FLAIR MR.
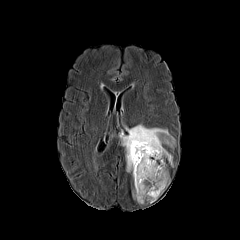
T1-weighted magnetic resonance.
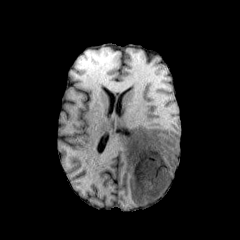
Post-contrast T1-weighted MR image.
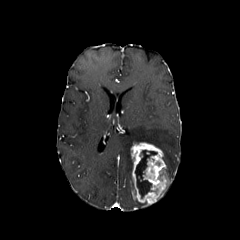
T2-weighted MR image.
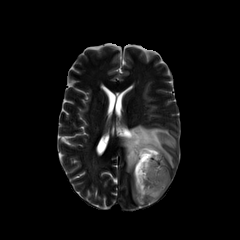
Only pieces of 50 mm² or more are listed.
<segmentation>
  <enhancing_tumor>x1=130, y1=142, x2=170, y2=204</enhancing_tumor>
  <peritumoral_edema>x1=121, y1=124, x2=175, y2=172</peritumoral_edema>
  <necrotic_tumor_core>x1=135, y1=150, x2=157, y2=197</necrotic_tumor_core>
</segmentation>